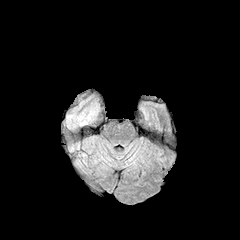
FLAIR magnetic resonance.
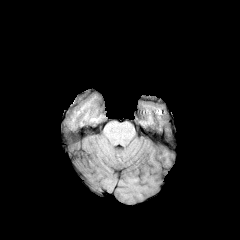
T1-weighted MR image of the same slice.
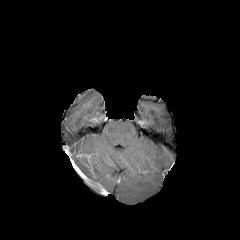
Post-contrast T1-weighted MR image.
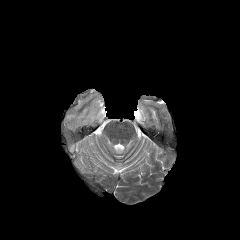
Same slice, T2-weighted MR.
240x240 px
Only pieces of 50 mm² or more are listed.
The largest peritumoral edema region is at <bbox>66, 92, 102, 127</bbox>.